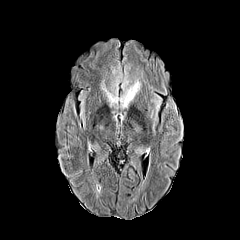
FLAIR MR image.
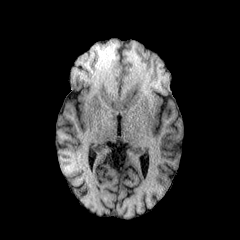
Same slice, T1-weighted MRI.
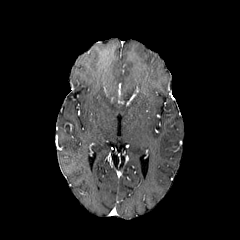
Post-contrast T1-weighted magnetic resonance of the same slice.
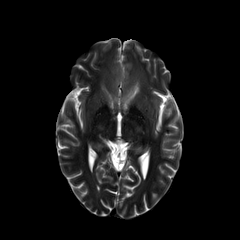
T2-weighted MR of the same slice.
Axial slice | Brain
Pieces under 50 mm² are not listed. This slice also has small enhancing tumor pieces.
peritumoral_edema:
  - {"x1": 107, "y1": 91, "x2": 117, "y2": 104}
  - {"x1": 121, "y1": 80, "x2": 140, "y2": 106}